240x240
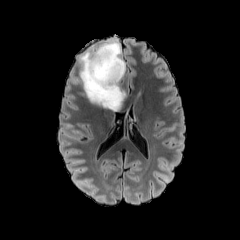
FLAIR magnetic resonance.
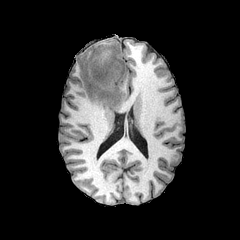
Same slice, T1-weighted MRI.
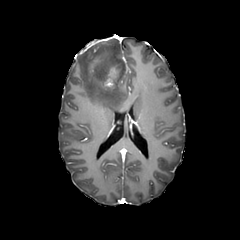
Post-contrast T1-weighted MR.
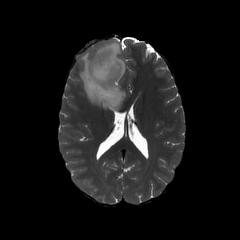
T2-weighted MRI of the same slice.
Findings:
- enhancing tumor: (103, 67, 117, 90), (89, 56, 104, 86)
- peritumoral edema: (80, 42, 126, 111)